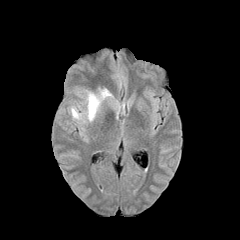
FLAIR MR image.
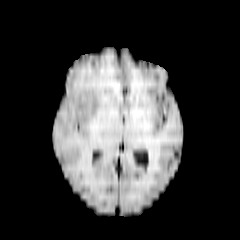
Same slice, T1-weighted MR image.
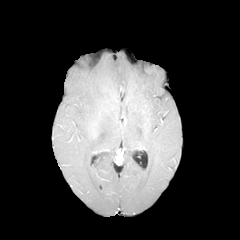
Post-contrast T1-weighted magnetic resonance of the same slice.
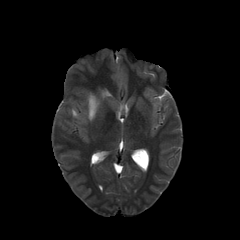
T2-weighted MR image of the same slice.
Head, Axial plane
Findings:
* peritumoral edema: {"x1": 71, "y1": 89, "x2": 111, "y2": 121}